FLAIR MRI.
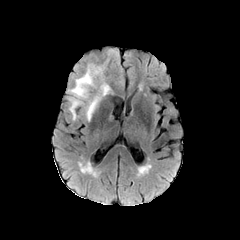
T1-weighted MR image.
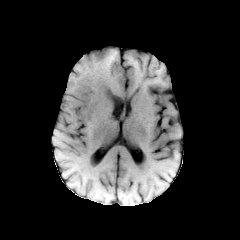
Post-contrast T1-weighted magnetic resonance.
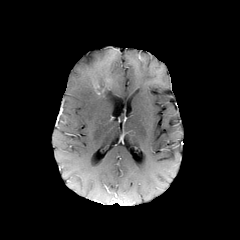
T2-weighted magnetic resonance.
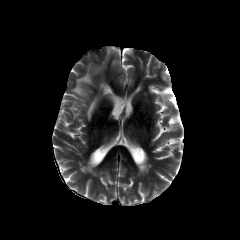
The peritumoral edema is at l=69, t=67, r=110, b=120.